Axial plane | Image size 240x240
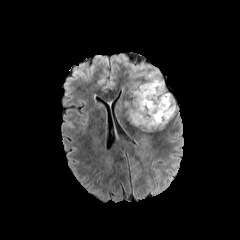
FLAIR MRI.
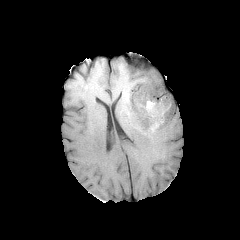
T1-weighted MR image of the same slice.
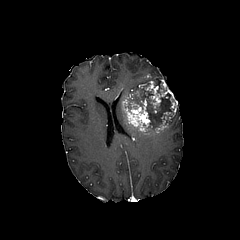
Post-contrast T1-weighted MR of the same slice.
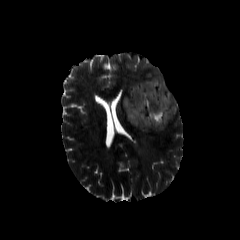
T2-weighted MR.
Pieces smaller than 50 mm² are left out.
necrotic tumor core at <bbox>130, 82, 175, 128</bbox>, <bbox>154, 80, 166, 94</bbox>
enhancing tumor at <bbox>145, 75, 177, 112</bbox>, <bbox>149, 116, 167, 133</bbox>, <bbox>122, 87, 151, 134</bbox>
peritumoral edema at <bbox>138, 70, 160, 81</bbox>